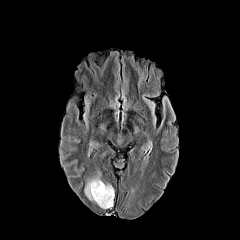
FLAIR MRI.
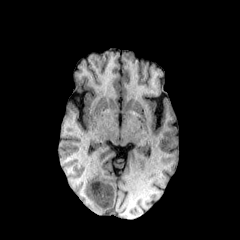
T1-weighted MRI.
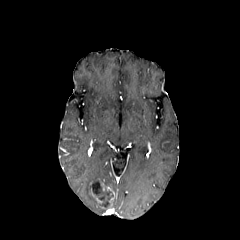
Same slice, post-contrast T1-weighted magnetic resonance.
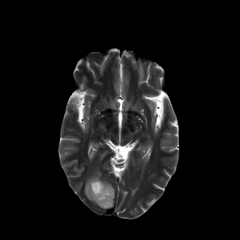
Same slice, T2-weighted magnetic resonance.
240x240 px; Axial slice
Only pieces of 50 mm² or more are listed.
The enhancing tumor is located at (x1=89, y1=180, x2=114, y2=208). The necrotic tumor core is at (x1=92, y1=181, x2=113, y2=206). The largest peritumoral edema region is bounded by (x1=84, y1=172, x2=100, y2=202).